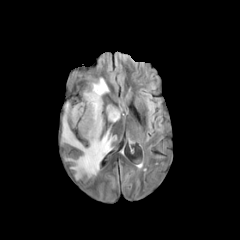
FLAIR magnetic resonance.
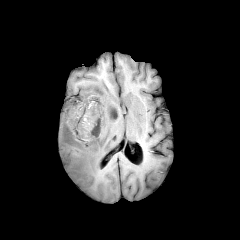
T1-weighted MR.
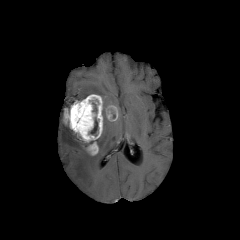
Post-contrast T1-weighted MRI.
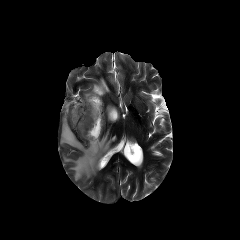
T2-weighted MR.
Axial slice
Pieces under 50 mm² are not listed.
- necrotic tumor core: (90, 117, 97, 134)
- peritumoral edema: (83, 78, 109, 98), (61, 122, 113, 179)
- enhancing tumor: (106, 105, 118, 121), (63, 94, 103, 155)